FLAIR magnetic resonance.
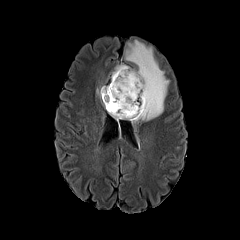
T1-weighted magnetic resonance.
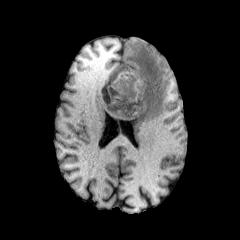
Post-contrast T1-weighted MRI.
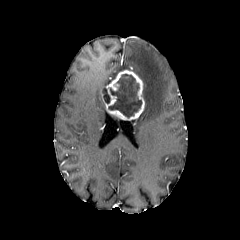
T2-weighted MR.
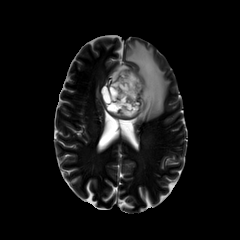
Axial view
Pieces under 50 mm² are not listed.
- necrotic tumor core: bbox(108, 74, 141, 117); bbox(102, 87, 110, 103)
- peritumoral edema: bbox(112, 64, 130, 78); bbox(125, 40, 169, 121)
- enhancing tumor: bbox(101, 69, 144, 120)